Brain
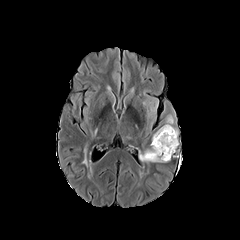
FLAIR MRI.
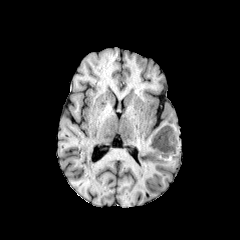
T1-weighted magnetic resonance of the same slice.
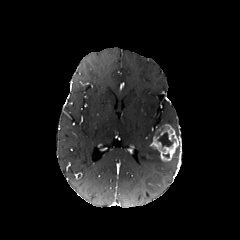
Post-contrast T1-weighted MRI.
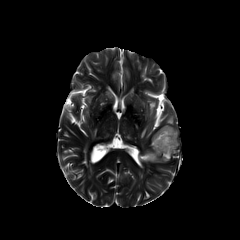
T2-weighted MR.
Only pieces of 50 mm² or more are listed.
enhancing tumor = x1=150, y1=124, x2=179, y2=161
necrotic tumor core = x1=158, y1=131, x2=172, y2=146
peritumoral edema = x1=166, y1=116, x2=173, y2=126; x1=139, y1=147, x2=163, y2=162